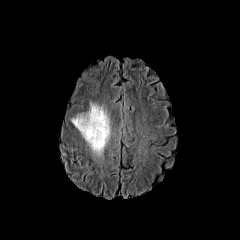
FLAIR magnetic resonance.
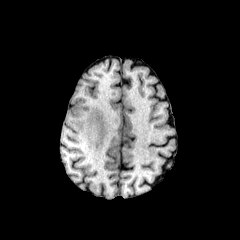
T1-weighted MR.
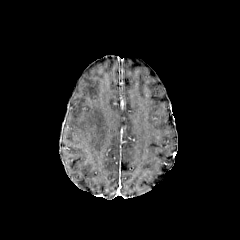
Post-contrast T1-weighted MR image of the same slice.
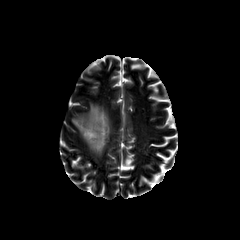
T2-weighted magnetic resonance.
Brain
The peritumoral edema lies within 72:103:110:155.